FLAIR MR.
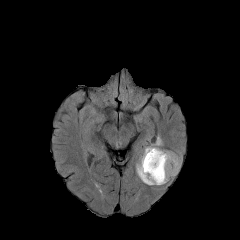
T1-weighted MR image.
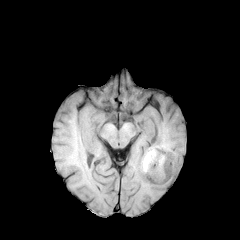
Post-contrast T1-weighted MR image.
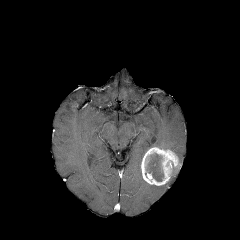
T2-weighted MR image.
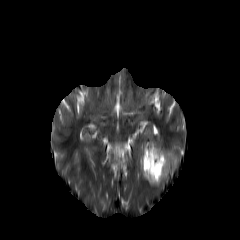
240x240 px; Brain
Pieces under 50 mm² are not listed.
peritumoral edema — bbox=[136, 134, 162, 184]
necrotic tumor core — bbox=[146, 153, 163, 181]
enhancing tumor — bbox=[141, 147, 180, 185]